Brain; 240x240; Axial view
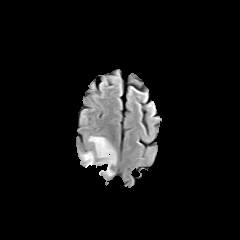
FLAIR MR.
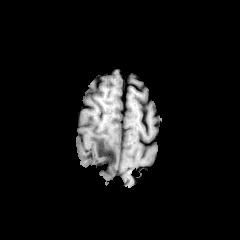
T1-weighted MR image.
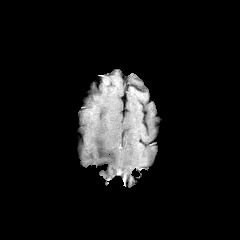
Same slice, post-contrast T1-weighted MR.
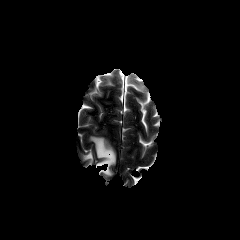
T2-weighted magnetic resonance.
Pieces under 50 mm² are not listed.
peritumoral edema — rect(90, 137, 114, 163); rect(83, 153, 92, 164)